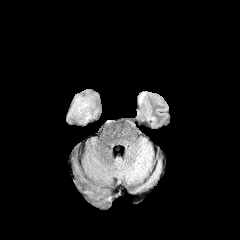
FLAIR magnetic resonance.
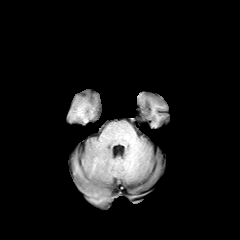
T1-weighted MR image.
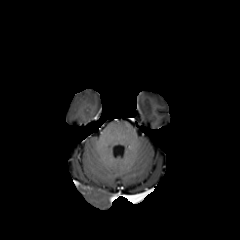
Post-contrast T1-weighted MR.
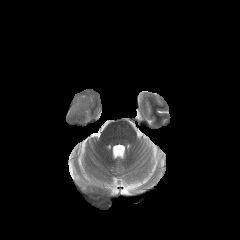
T2-weighted MRI.
Head, Axial view
The peritumoral edema lies within 66,89,100,124.